FLAIR MRI.
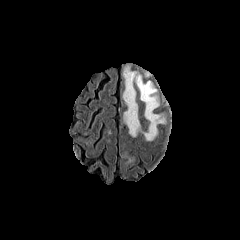
T1-weighted MR image.
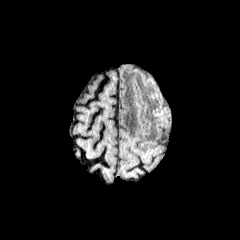
Post-contrast T1-weighted MR image.
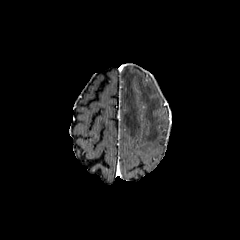
T2-weighted MRI.
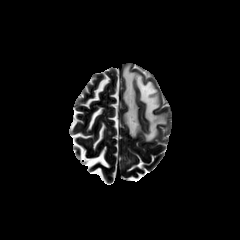
240x240 px
Segmented structures:
• peritumoral edema: x1=123 y1=66 x2=166 y2=140